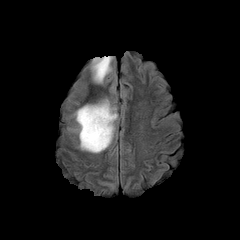
FLAIR MR image.
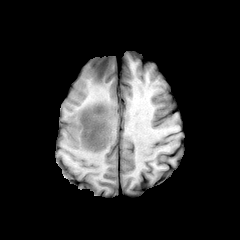
Same slice, T1-weighted magnetic resonance.
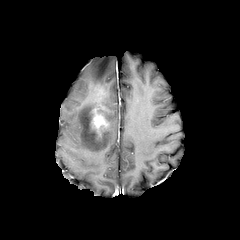
Post-contrast T1-weighted MRI of the same slice.
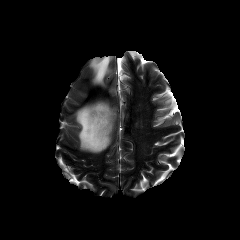
T2-weighted MR.
Brain, Axial view
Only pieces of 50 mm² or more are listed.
The 2 largest peritumoral edema regions are bounded by [75,104,116,152], [91,56,112,83]. The enhancing tumor is bounded by [87,103,113,140].